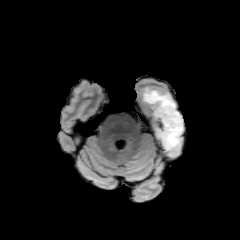
FLAIR MR.
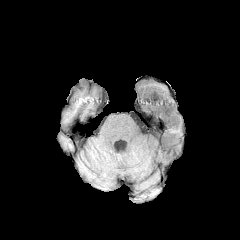
Same slice, T1-weighted MRI.
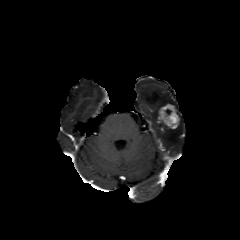
Post-contrast T1-weighted MRI.
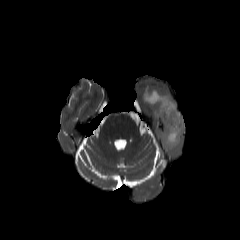
Same slice, T2-weighted MR image.
240x240
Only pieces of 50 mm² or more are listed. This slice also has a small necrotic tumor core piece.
peritumoral edema: bounding box [142,87,175,118], [157,111,183,151]
enhancing tumor: bounding box [158,104,179,128]